Brain; Slice 56/155; 240x240
FLAIR MRI.
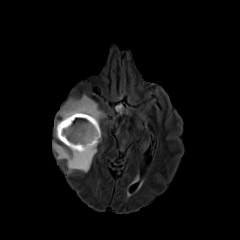
T1-weighted MR.
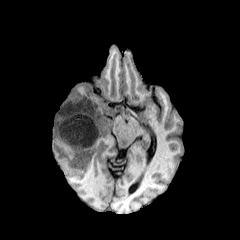
Post-contrast T1-weighted MR image.
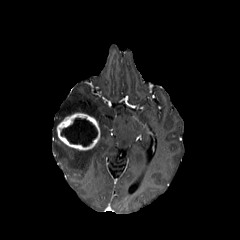
T2-weighted MRI.
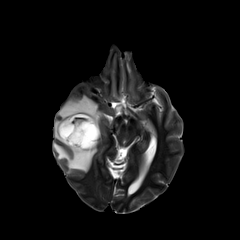
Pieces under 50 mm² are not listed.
necrotic tumor core: bounding box [61,118,97,146]
enhancing tumor: bounding box [57,113,100,150]
peritumoral edema: bounding box [53,142,97,173], [54,94,104,139]